Image size 240x240 | Slice index 100 | Head | Axial slice
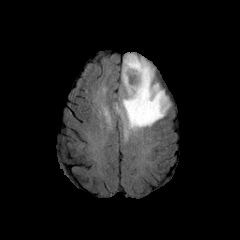
FLAIR magnetic resonance.
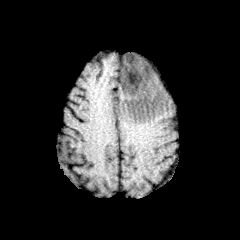
Same slice, T1-weighted MR.
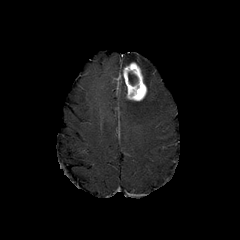
Post-contrast T1-weighted MR image.
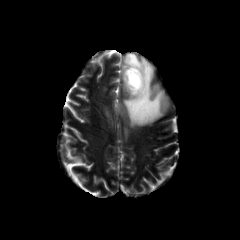
T2-weighted MR.
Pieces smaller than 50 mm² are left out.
The necrotic tumor core is at (left=128, top=73, right=136, bottom=84). The largest peritumoral edema region is at (left=115, top=53, right=170, bottom=129). The enhancing tumor lies within (left=122, top=62, right=147, bottom=101).